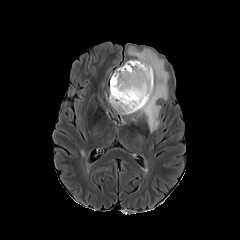
FLAIR MR image.
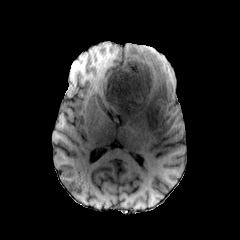
T1-weighted MR.
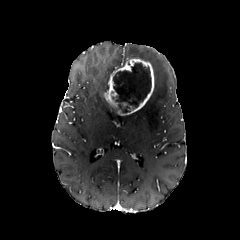
Post-contrast T1-weighted MR image.
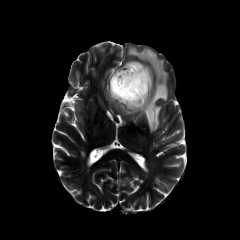
Same slice, T2-weighted MR image.
Image size 240x240
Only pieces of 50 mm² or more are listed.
The largest enhancing tumor region is at x1=104, y1=59, x2=154, y2=115. The largest necrotic tumor core region is at x1=113, y1=63, x2=151, y2=112. The peritumoral edema is located at x1=128, y1=48, x2=168, y2=132.